Axial plane | 240x240 px
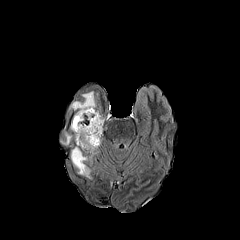
FLAIR MRI.
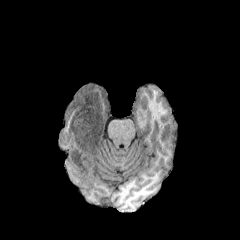
Same slice, T1-weighted MR.
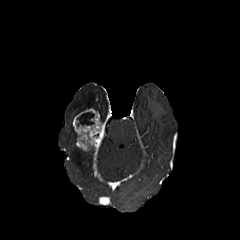
Post-contrast T1-weighted MR image of the same slice.
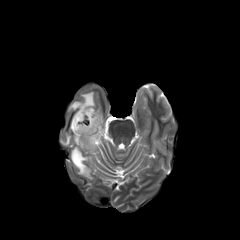
T2-weighted MR of the same slice.
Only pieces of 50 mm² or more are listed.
The enhancing tumor is at region(72, 108, 104, 151). The largest necrotic tumor core region is at region(77, 112, 94, 126). The 3 largest peritumoral edema regions appear at region(71, 146, 90, 178); region(69, 91, 96, 115); region(61, 133, 72, 144).